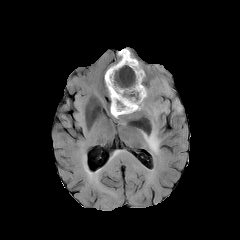
FLAIR MRI.
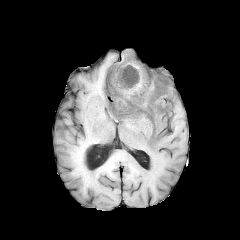
T1-weighted MRI.
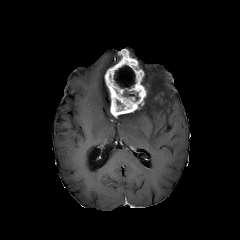
Post-contrast T1-weighted MR image of the same slice.
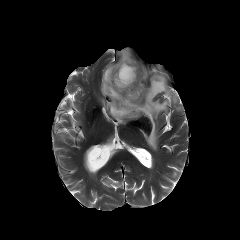
T2-weighted magnetic resonance.
240x240 px. Brain.
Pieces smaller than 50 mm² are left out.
Findings:
• enhancing tumor: (104, 49, 146, 117)
• necrotic tumor core: (114, 65, 135, 88), (123, 90, 138, 99)
• peritumoral edema: (173, 99, 182, 112), (115, 75, 173, 154)